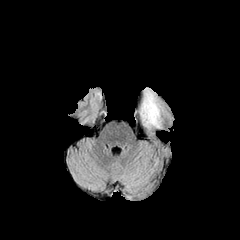
FLAIR MR image.
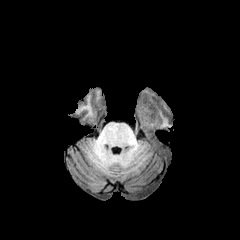
T1-weighted magnetic resonance.
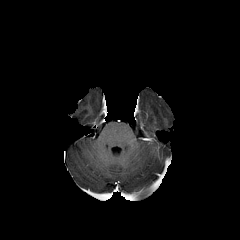
Post-contrast T1-weighted magnetic resonance.
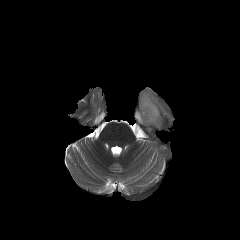
T2-weighted magnetic resonance.
240x240
* peritumoral edema: x1=140, y1=90, x2=161, y2=127